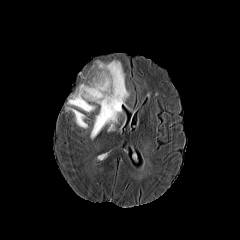
FLAIR MRI.
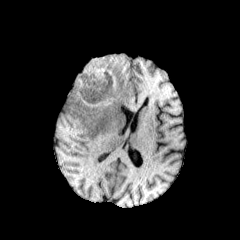
T1-weighted MR.
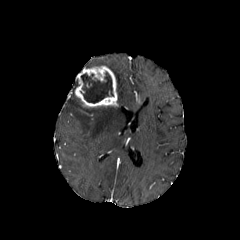
Same slice, post-contrast T1-weighted MR.
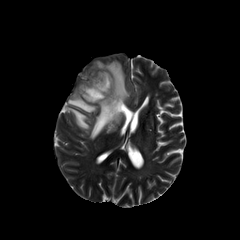
T2-weighted MR image.
Brain, Axial plane
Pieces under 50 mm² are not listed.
The largest necrotic tumor core region is at (x1=81, y1=71, x2=113, y2=103). The largest enhancing tumor region is at (x1=75, y1=66, x2=118, y2=107). 3 peritumoral edema regions appear at (x1=90, y1=60, x2=129, y2=139), (x1=65, y1=107, x2=88, y2=128), (x1=67, y1=94, x2=95, y2=112).